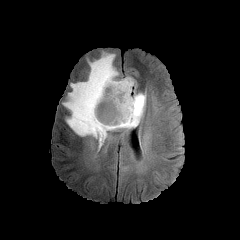
FLAIR MR image.
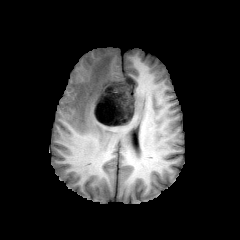
T1-weighted MRI.
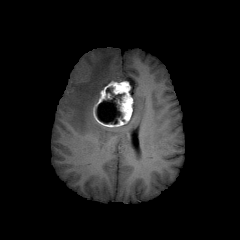
Post-contrast T1-weighted magnetic resonance of the same slice.
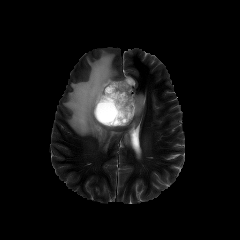
Same slice, T2-weighted MRI.
Head | Axial view
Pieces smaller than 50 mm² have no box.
peritumoral edema — [62, 51, 145, 147]
enhancing tumor — [93, 81, 133, 127]
necrotic tumor core — [96, 87, 124, 124]